Head; Axial plane; Slice 71/155
FLAIR MRI.
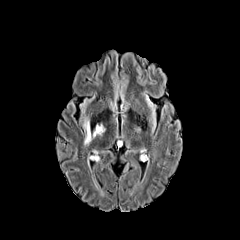
T1-weighted MR image.
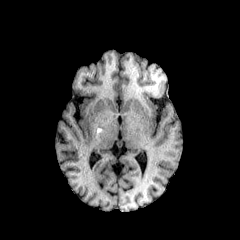
Post-contrast T1-weighted MR.
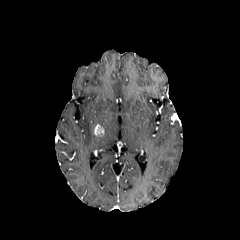
T2-weighted MR.
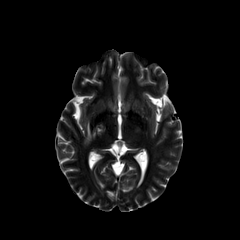
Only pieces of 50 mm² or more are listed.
The enhancing tumor is at (94, 124, 103, 135). The largest peritumoral edema region appears at (83, 119, 95, 145).